Head | Axial plane | Image size 240x240
FLAIR magnetic resonance.
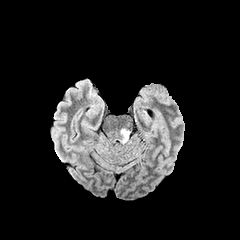
T1-weighted MRI.
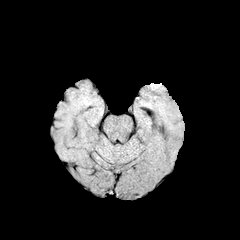
Post-contrast T1-weighted magnetic resonance.
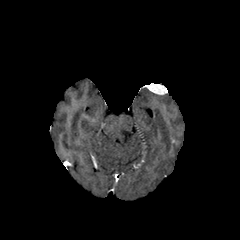
T2-weighted MRI.
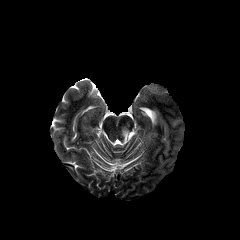
<segmentation>
  <peritumoral_edema><bbox>121, 129, 129, 143</bbox></peritumoral_edema>
</segmentation>